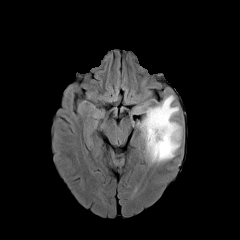
FLAIR MR.
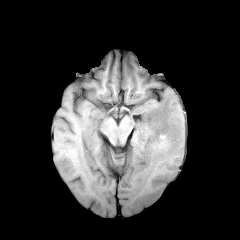
Same slice, T1-weighted MRI.
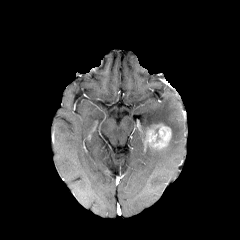
Post-contrast T1-weighted MR image.
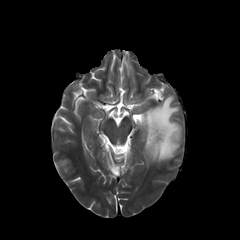
T2-weighted MR.
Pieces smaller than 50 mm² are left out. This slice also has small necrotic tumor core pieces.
Segmented structures:
• enhancing tumor: l=146, t=124, r=171, b=149
• peritumoral edema: l=131, t=95, r=182, b=164